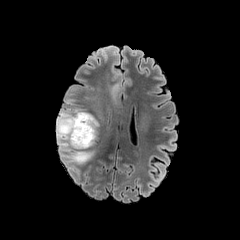
FLAIR MR.
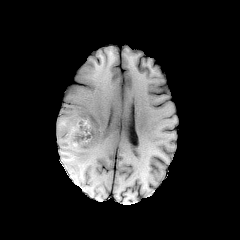
Same slice, T1-weighted MR.
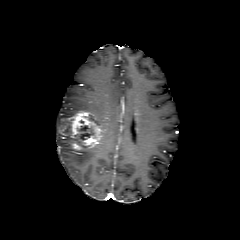
Same slice, post-contrast T1-weighted MR image.
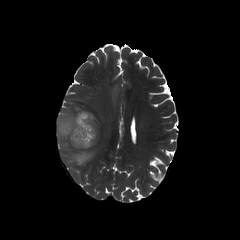
T2-weighted MRI of the same slice.
Brain
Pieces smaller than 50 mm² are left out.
peritumoral edema — (56,108,93,164)
necrotic tumor core — (78,125,90,140)
enhancing tumor — (62,111,100,149)